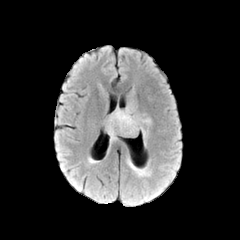
FLAIR MR.
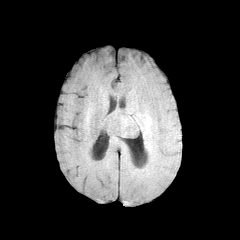
T1-weighted MR.
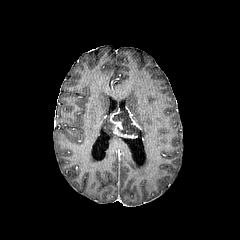
Same slice, post-contrast T1-weighted MR.
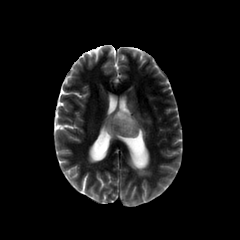
T2-weighted MRI of the same slice.
Brain
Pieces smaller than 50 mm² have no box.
The necrotic tumor core is located at (left=112, top=109, right=139, bottom=134). The 2 largest peritumoral edema regions appear at (left=106, top=116, right=117, bottom=140), (left=132, top=115, right=150, bottom=136). 2 enhancing tumor regions appear at (left=129, top=113, right=141, bottom=129), (left=110, top=108, right=136, bottom=137).